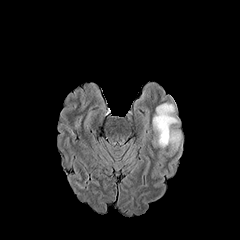
FLAIR MR.
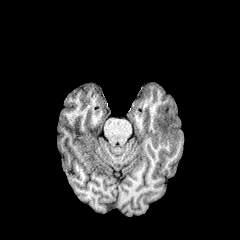
Same slice, T1-weighted MR.
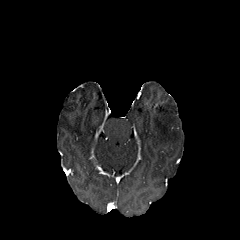
Post-contrast T1-weighted MR.
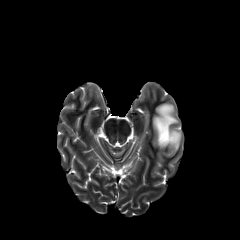
T2-weighted magnetic resonance.
The peritumoral edema is located at region(153, 103, 181, 149).